FLAIR magnetic resonance.
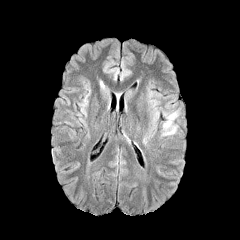
T1-weighted magnetic resonance.
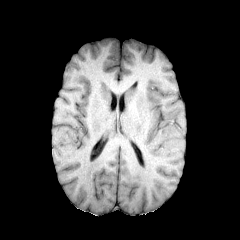
Post-contrast T1-weighted MRI.
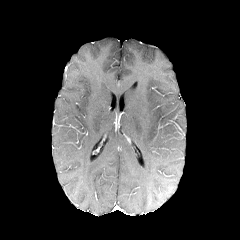
T2-weighted MR.
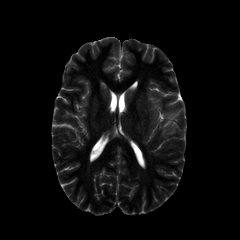
Axial view, Head
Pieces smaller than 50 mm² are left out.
The largest peritumoral edema region appears at <box>163,111,177,134</box>.